FLAIR MR image.
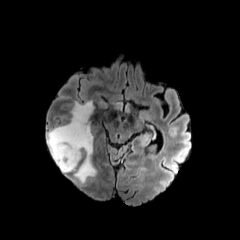
T1-weighted MR.
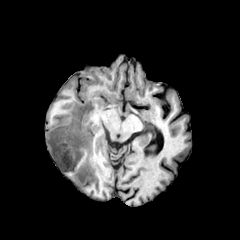
Post-contrast T1-weighted MR.
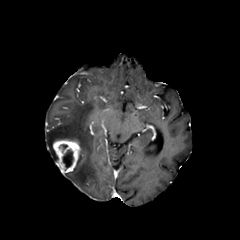
T2-weighted magnetic resonance.
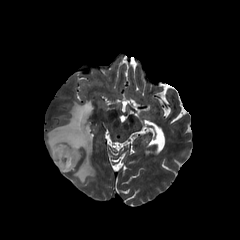
Axial view
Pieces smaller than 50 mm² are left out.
necrotic_tumor_core:
  - box(63, 150, 73, 168)
enhancing_tumor:
  - box(53, 139, 80, 173)
peritumoral_edema:
  - box(47, 101, 95, 183)